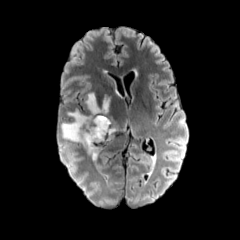
FLAIR magnetic resonance.
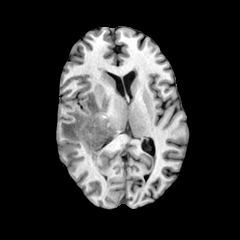
T1-weighted MRI.
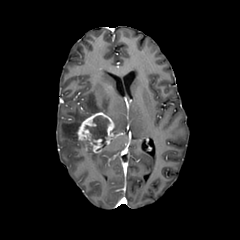
Post-contrast T1-weighted MRI.
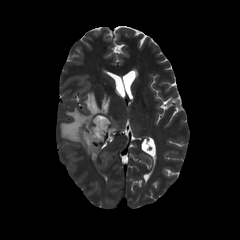
Same slice, T2-weighted MRI.
Head | Image size 240x240 | Axial slice
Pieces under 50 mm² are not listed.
The largest necrotic tumor core region lies within rect(85, 115, 109, 150). The enhancing tumor is at rect(77, 112, 114, 153). The 2 largest peritumoral edema regions are bounded by rect(87, 148, 98, 159); rect(60, 93, 110, 148).